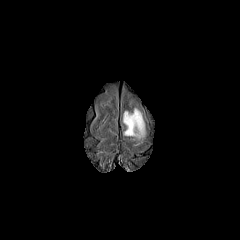
FLAIR MR image.
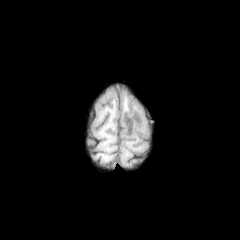
T1-weighted MRI.
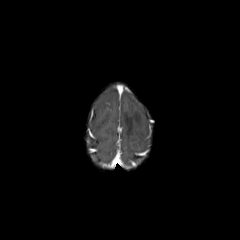
Post-contrast T1-weighted MRI of the same slice.
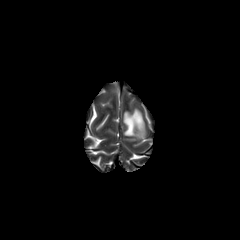
Same slice, T2-weighted MR image.
Head | Axial slice
The peritumoral edema is located at rect(123, 109, 144, 138).